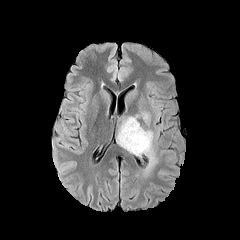
FLAIR MR image.
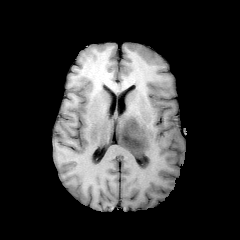
T1-weighted magnetic resonance of the same slice.
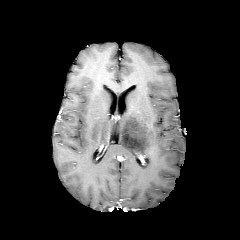
Post-contrast T1-weighted magnetic resonance.
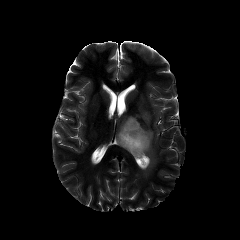
T2-weighted MR.
Brain
2 peritumoral edema regions are bounded by {"x1": 142, "y1": 112, "x2": 149, "y2": 123}, {"x1": 116, "y1": 114, "x2": 157, "y2": 172}.